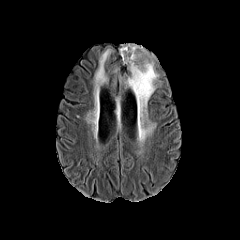
FLAIR magnetic resonance.
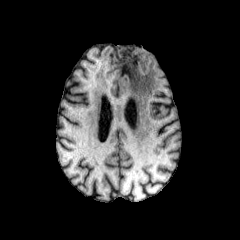
T1-weighted MR.
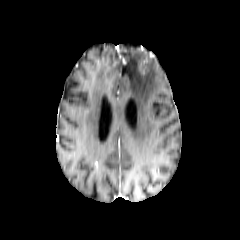
Same slice, post-contrast T1-weighted MR image.
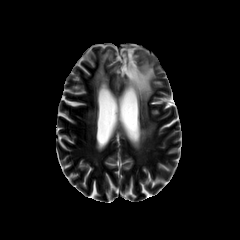
T2-weighted MRI of the same slice.
Brain; Axial view
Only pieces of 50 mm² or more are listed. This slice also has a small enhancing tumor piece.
{
  "peritumoral_edema": [
    "<bbox>120, 44, 158, 141</bbox>",
    "<bbox>94, 49, 110, 93</bbox>"
  ]
}